FLAIR MR image.
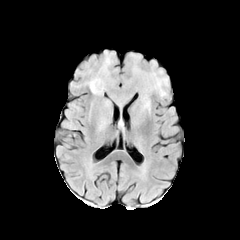
T1-weighted MRI.
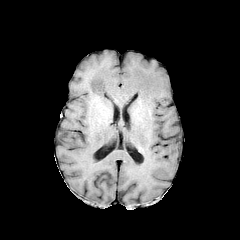
Post-contrast T1-weighted MR image.
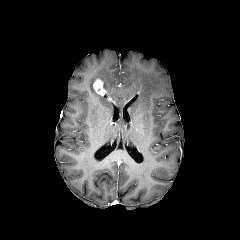
T2-weighted MRI.
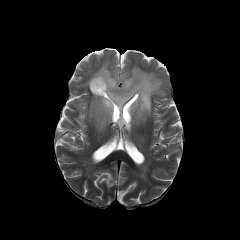
Head; Axial view
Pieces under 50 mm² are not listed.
<segmentation>
  <enhancing_tumor>l=93, t=78, r=106, b=95</enhancing_tumor>
  <peritumoral_edema>l=87, t=53, r=167, b=116; l=98, t=116, r=108, b=129</peritumoral_edema>
</segmentation>